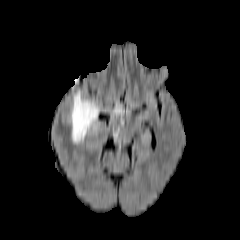
FLAIR magnetic resonance.
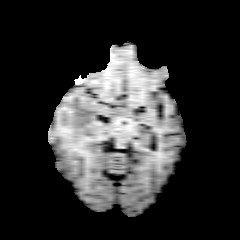
T1-weighted MR image.
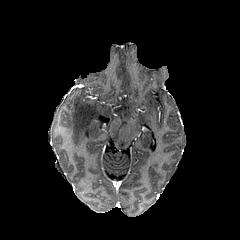
Same slice, post-contrast T1-weighted MRI.
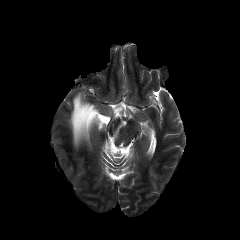
T2-weighted magnetic resonance of the same slice.
Axial view
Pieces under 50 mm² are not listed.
peritumoral edema at 70, 92, 99, 144; 114, 107, 123, 115